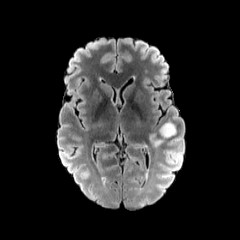
FLAIR MRI.
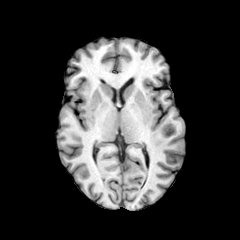
T1-weighted MR image.
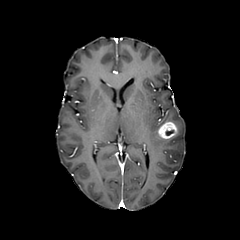
Post-contrast T1-weighted MR.
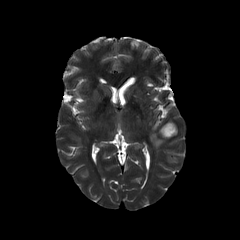
Same slice, T2-weighted MR image.
Brain
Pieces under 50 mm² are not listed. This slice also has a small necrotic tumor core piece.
The peritumoral edema is at <box>151,134,166,146</box>. The enhancing tumor is located at <box>157,121,177,138</box>.